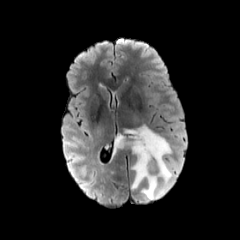
FLAIR magnetic resonance.
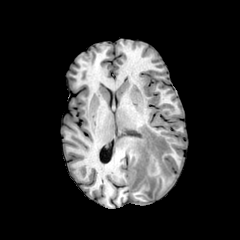
T1-weighted MR image.
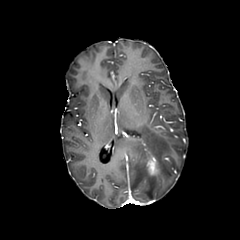
Post-contrast T1-weighted MR image of the same slice.
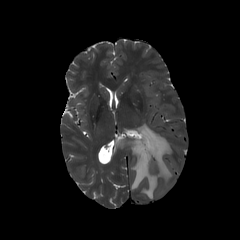
T2-weighted magnetic resonance.
Head
Annotated regions:
- enhancing tumor: (146,156,157,174)
- peritumoral edema: (114,124,172,199)